FLAIR MR.
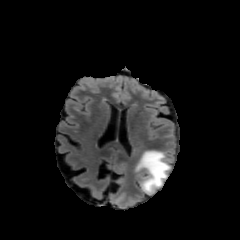
T1-weighted magnetic resonance.
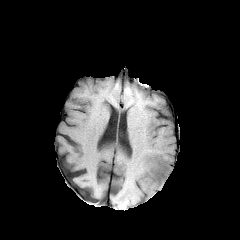
Post-contrast T1-weighted MR.
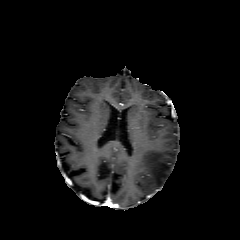
T2-weighted MR.
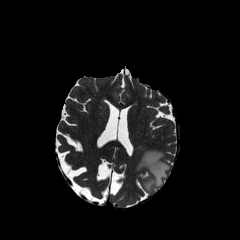
Image size 240x240
peritumoral edema = (left=135, top=150, right=170, bottom=194)